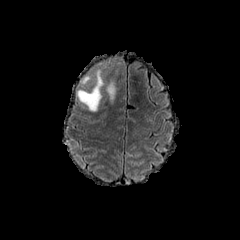
FLAIR MR image.
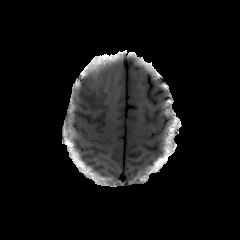
T1-weighted magnetic resonance.
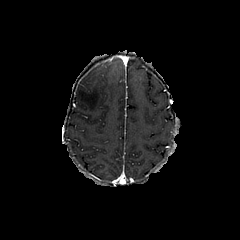
Same slice, post-contrast T1-weighted magnetic resonance.
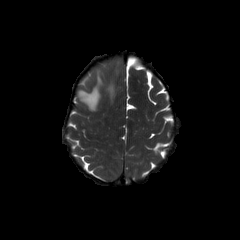
T2-weighted MR.
Brain, 240x240, Axial slice
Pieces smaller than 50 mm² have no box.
Annotated regions:
* peritumoral edema: 77,70,103,111; 106,81,114,99